FLAIR MRI.
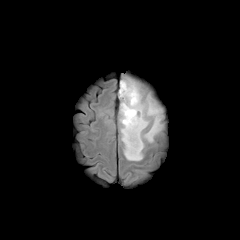
T1-weighted MR.
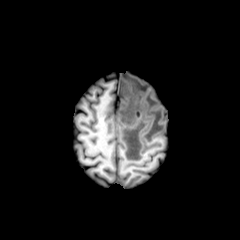
Post-contrast T1-weighted MR image.
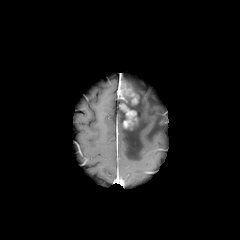
T2-weighted magnetic resonance.
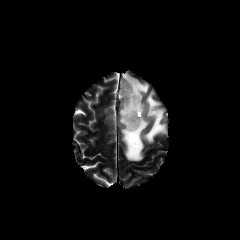
Brain, Axial plane
The peritumoral edema lies within [119,77,163,160]. 2 enhancing tumor regions are bounded by [121,104,136,127], [118,82,137,104].